Slice 76 of 155
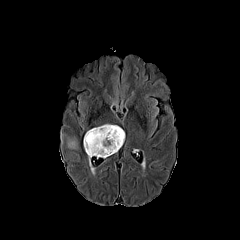
FLAIR MRI.
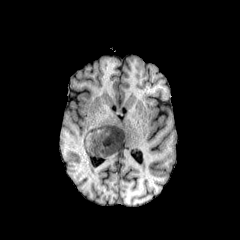
Same slice, T1-weighted MR.
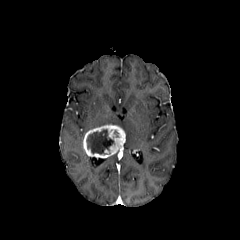
Same slice, post-contrast T1-weighted MR.
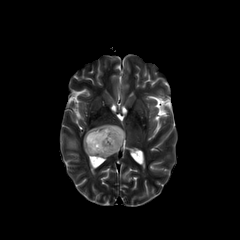
Same slice, T2-weighted MRI.
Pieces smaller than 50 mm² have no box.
enhancing tumor = <bbox>83, 124, 125, 157</bbox>
necrotic tumor core = <bbox>86, 129, 113, 154</bbox>
peritumoral edema = <bbox>88, 156, 95, 174</bbox>, <bbox>67, 137, 77, 148</bbox>